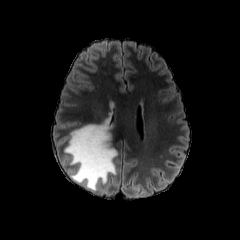
FLAIR MRI.
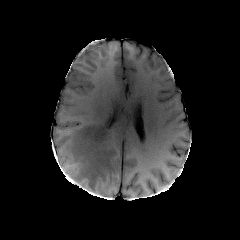
T1-weighted MR image.
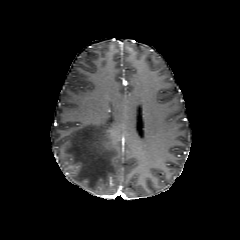
Post-contrast T1-weighted MR.
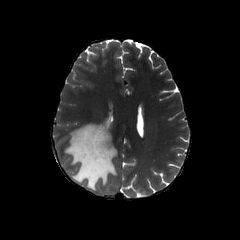
T2-weighted MR of the same slice.
Axial view, Brain
Segmented structures:
* peritumoral edema: 64:118:117:191